FLAIR MR.
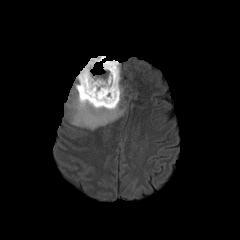
T1-weighted MRI.
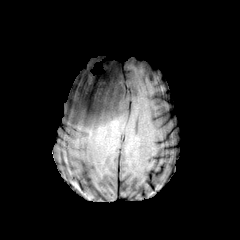
Post-contrast T1-weighted magnetic resonance.
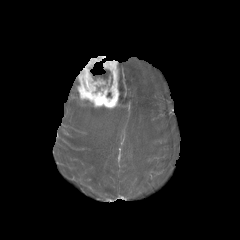
T2-weighted MR image.
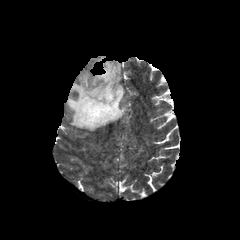
Head | Image size 240x240 | Axial plane
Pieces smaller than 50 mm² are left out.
The enhancing tumor lies within (77,56,119,108). The peritumoral edema lies within (66,62,126,130). The largest necrotic tumor core region is bounded by (93,69,110,82).